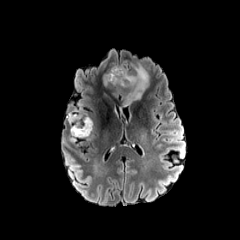
FLAIR MR image.
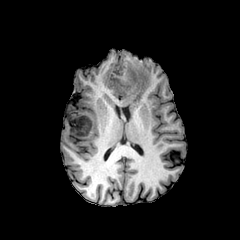
T1-weighted MR image.
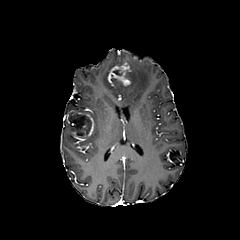
Post-contrast T1-weighted magnetic resonance.
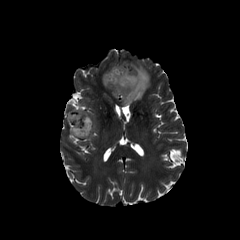
T2-weighted magnetic resonance.
240x240 px; Axial slice
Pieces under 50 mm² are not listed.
- peritumoral edema: (103,74,109,85), (113,63,149,105)
- enhancing tumor: (67,111,94,138), (107,62,130,85)
- necrotic tumor core: (68,114,91,136)